FLAIR MRI.
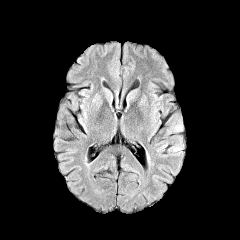
T1-weighted MR image.
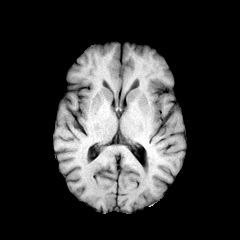
Post-contrast T1-weighted MR image.
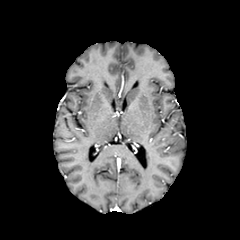
T2-weighted MR image.
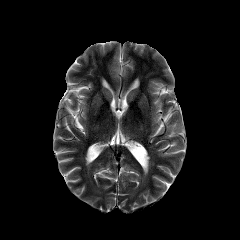
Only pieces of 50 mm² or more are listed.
peritumoral edema — 152:110:185:156